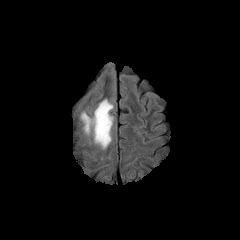
FLAIR magnetic resonance.
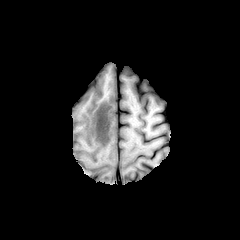
Same slice, T1-weighted MRI.
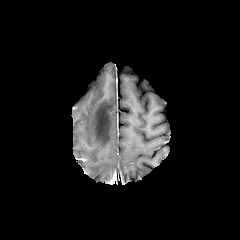
Same slice, post-contrast T1-weighted MRI.
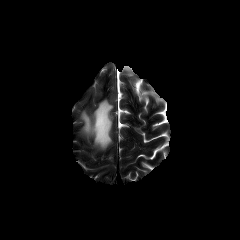
T2-weighted magnetic resonance of the same slice.
Brain | Axial slice
peritumoral_edema:
  - <box>81,99,113,149</box>